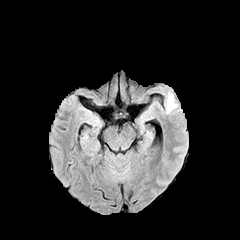
FLAIR MRI.
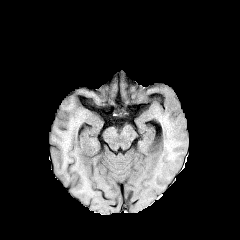
T1-weighted MRI of the same slice.
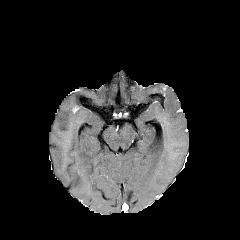
Post-contrast T1-weighted magnetic resonance of the same slice.
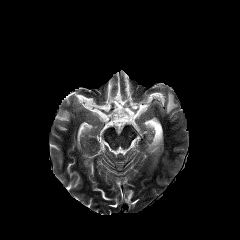
T2-weighted magnetic resonance.
Image size 240x240
peritumoral edema: 166 92 177 113